Slice 96 of 155, Head, Image width 240 mm
FLAIR MR image.
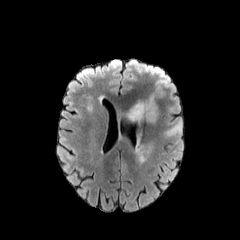
T1-weighted magnetic resonance.
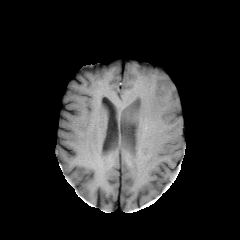
Post-contrast T1-weighted MR image.
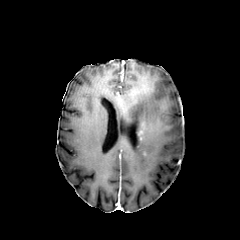
T2-weighted MR image.
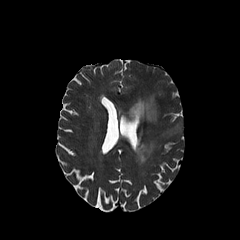
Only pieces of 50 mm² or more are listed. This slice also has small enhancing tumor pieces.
peritumoral edema at l=136, t=140, r=152, b=163; l=130, t=96, r=156, b=122